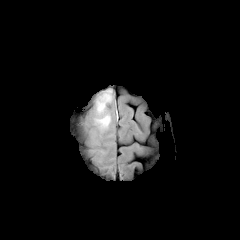
FLAIR MRI.
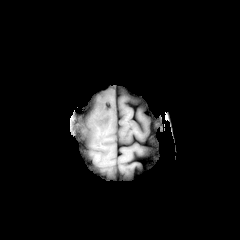
T1-weighted MR of the same slice.
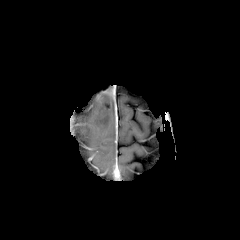
Post-contrast T1-weighted MR image.
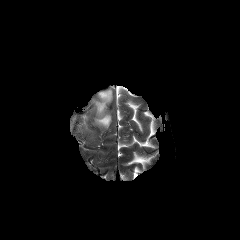
T2-weighted magnetic resonance of the same slice.
240x240; Head; Axial view
peritumoral edema at left=79, top=87, right=115, bottom=128